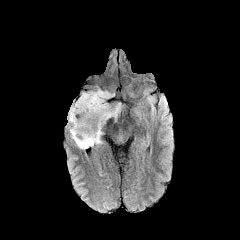
FLAIR MR image.
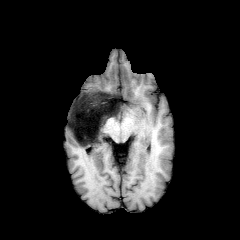
T1-weighted MR image.
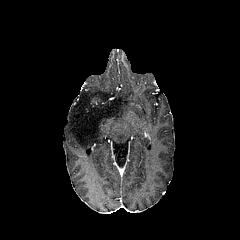
Post-contrast T1-weighted MRI.
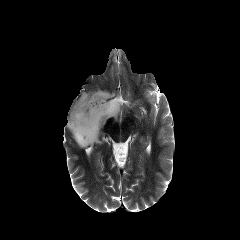
Same slice, T2-weighted MR.
Axial plane
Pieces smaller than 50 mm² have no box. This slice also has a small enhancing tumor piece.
peritumoral edema: {"x1": 66, "y1": 88, "x2": 121, "y2": 149}